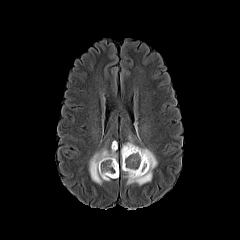
FLAIR magnetic resonance.
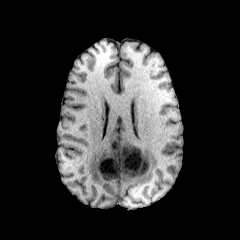
T1-weighted magnetic resonance.
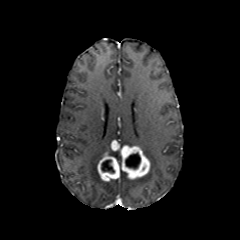
Same slice, post-contrast T1-weighted MR.
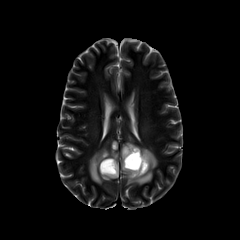
T2-weighted MR image of the same slice.
Head
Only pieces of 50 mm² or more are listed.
• enhancing tumor: box(120, 145, 150, 179); box(111, 140, 118, 151); box(97, 152, 119, 181)
• peritumoral edema: box(126, 146, 157, 185); box(123, 135, 138, 145); box(89, 144, 117, 184)
• necrotic tumor core: box(125, 153, 140, 169); box(101, 160, 114, 173)